FLAIR MRI.
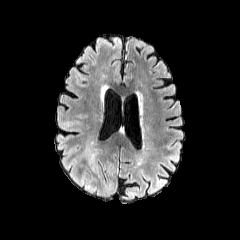
T1-weighted MR.
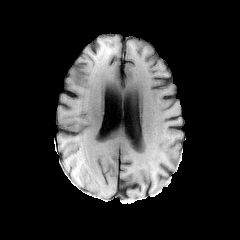
Post-contrast T1-weighted MRI.
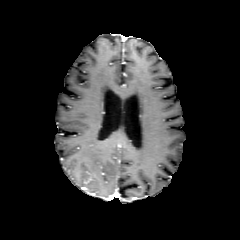
T2-weighted magnetic resonance.
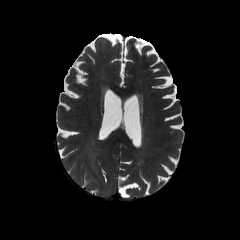
Axial slice | Image size 240x240
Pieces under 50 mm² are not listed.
peritumoral edema: 88, 150, 95, 172